Axial slice. Brain.
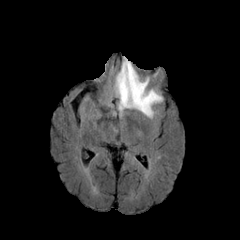
FLAIR magnetic resonance.
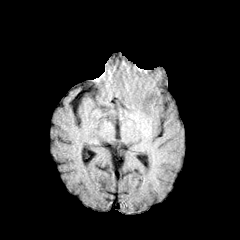
T1-weighted MR image of the same slice.
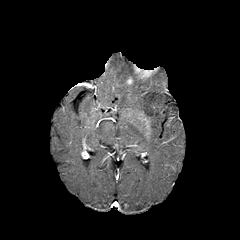
Same slice, post-contrast T1-weighted MR image.
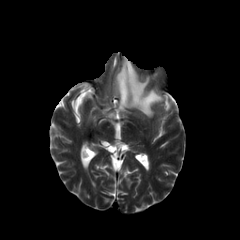
Same slice, T2-weighted MR image.
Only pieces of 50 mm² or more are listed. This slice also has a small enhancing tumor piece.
<segmentation>
  <peritumoral_edema><bbox>114, 57, 162, 118</bbox></peritumoral_edema>
</segmentation>